Slice index 81, Axial slice
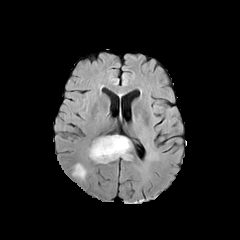
FLAIR MR image.
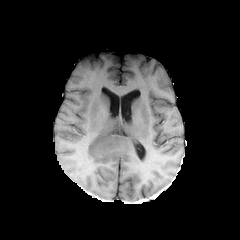
T1-weighted MR image of the same slice.
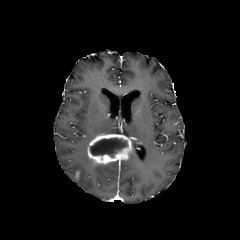
Post-contrast T1-weighted magnetic resonance of the same slice.
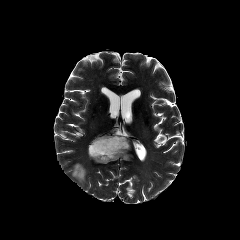
T2-weighted magnetic resonance.
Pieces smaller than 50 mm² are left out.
{
  "enhancing_tumor": [
    "box=[87, 134, 132, 163]"
  ],
  "peritumoral_edema": [
    "box=[72, 163, 86, 180]"
  ],
  "necrotic_tumor_core": [
    "box=[90, 138, 127, 157]"
  ]
}